Image size 240x240
FLAIR MRI.
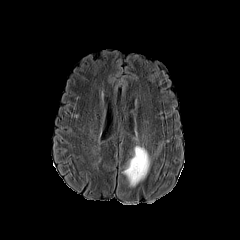
T1-weighted magnetic resonance.
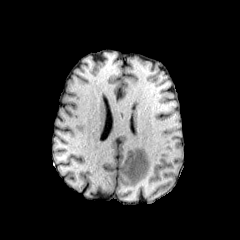
Post-contrast T1-weighted MRI.
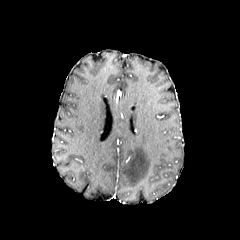
T2-weighted MRI.
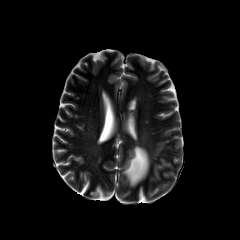
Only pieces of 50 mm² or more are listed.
peritumoral edema: bounding box bbox(122, 145, 150, 187)